FLAIR MR.
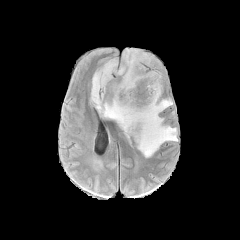
T1-weighted magnetic resonance.
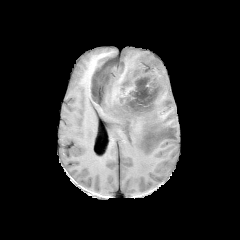
Post-contrast T1-weighted MRI.
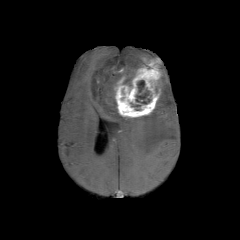
T2-weighted MRI.
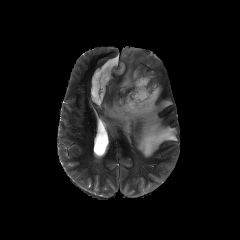
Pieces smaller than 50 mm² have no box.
<segmentation>
  <necrotic_tumor_core>(x1=136, y1=90, x2=150, y2=103), (x1=137, y1=80, x2=144, y2=93)</necrotic_tumor_core>
  <peritumoral_edema>(x1=160, y1=67, x2=166, y2=94), (x1=90, y1=48, x2=177, y2=157)</peritumoral_edema>
  <enhancing_tumor>(x1=114, y1=57, x2=162, y2=117)</enhancing_tumor>
</segmentation>